240x240. Axial view. Slice 83 of 155.
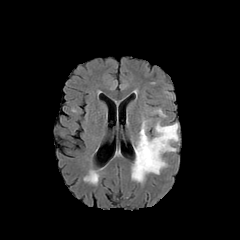
FLAIR magnetic resonance.
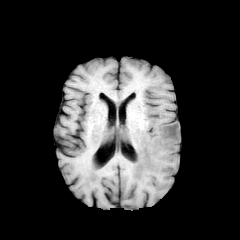
T1-weighted MR image.
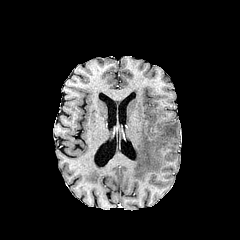
Post-contrast T1-weighted MR image.
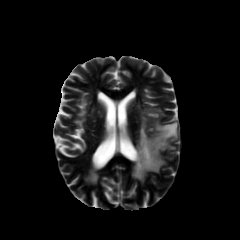
T2-weighted MR.
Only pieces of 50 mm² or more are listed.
peritumoral edema at 131 118 178 182